240x240 px, Head
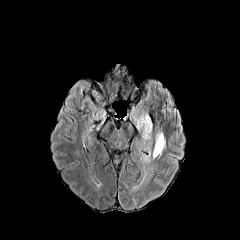
FLAIR magnetic resonance.
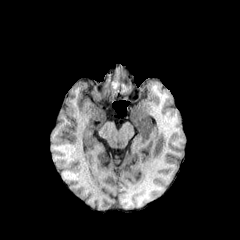
T1-weighted magnetic resonance of the same slice.
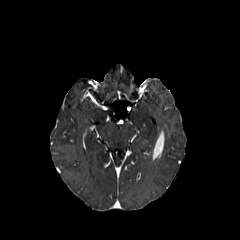
Post-contrast T1-weighted MR.
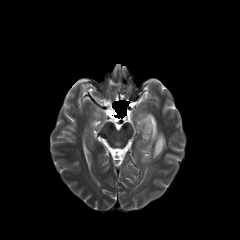
T2-weighted magnetic resonance of the same slice.
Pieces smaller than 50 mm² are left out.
The enhancing tumor is at <box>152,131,164,160</box>. The largest peritumoral edema region appears at <box>136,114,152,163</box>.